Head; Image size 240x240; Axial slice
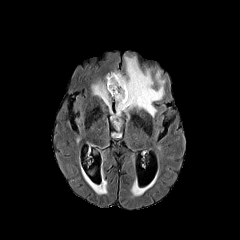
FLAIR magnetic resonance.
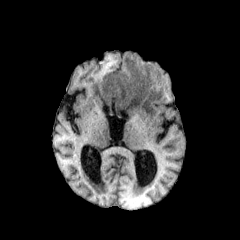
Same slice, T1-weighted MR.
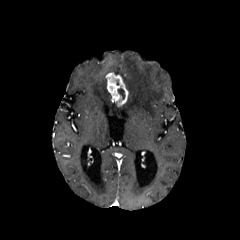
Post-contrast T1-weighted MR image.
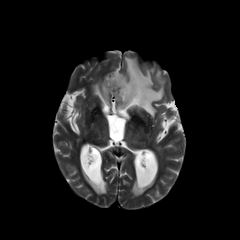
T2-weighted MR.
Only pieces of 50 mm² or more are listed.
enhancing tumor — 105,72,128,106
necrotic tumor core — 118,88,125,99
peritumoral edema — 88,181,106,194; 115,56,164,116; 91,81,110,107